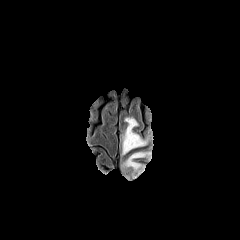
FLAIR MR.
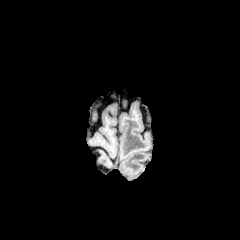
T1-weighted MRI.
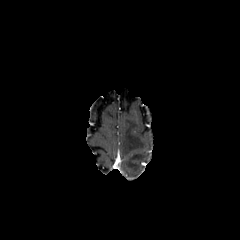
Post-contrast T1-weighted magnetic resonance.
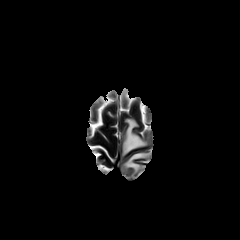
Same slice, T2-weighted magnetic resonance.
Axial slice, Head
peritumoral edema: x1=122 y1=152 x2=149 y2=177, x1=122 y1=118 x2=147 y2=155